FLAIR MRI.
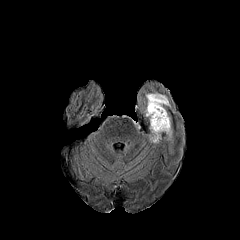
T1-weighted magnetic resonance.
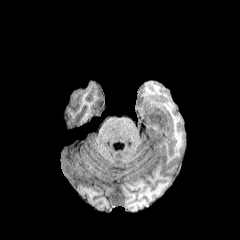
Post-contrast T1-weighted MR image.
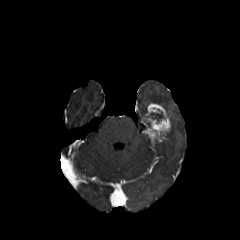
T2-weighted MRI.
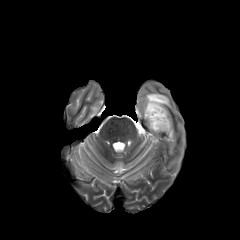
Axial slice. Brain.
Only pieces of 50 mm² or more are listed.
Findings:
- enhancing tumor: [145,103,170,142]
- peritumoral edema: [137,81,174,114], [165,113,173,145]
- necrotic tumor core: [150,112,163,121]